Axial slice. Slice 61 of 155.
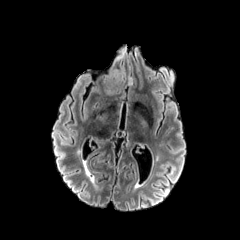
FLAIR MR image.
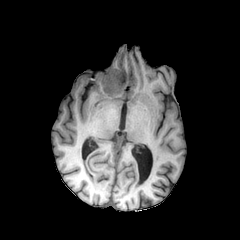
T1-weighted MR of the same slice.
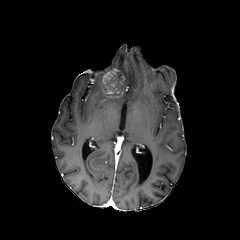
Same slice, post-contrast T1-weighted MR.
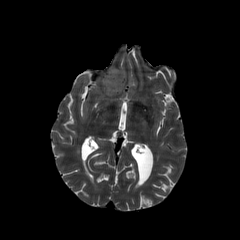
T2-weighted MR image.
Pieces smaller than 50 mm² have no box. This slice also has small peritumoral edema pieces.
The largest necrotic tumor core region is at [110, 72, 122, 87]. The largest enhancing tumor region is located at [102, 68, 120, 94].